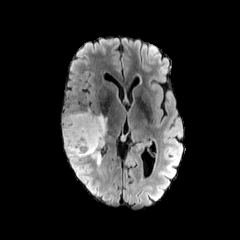
FLAIR MR.
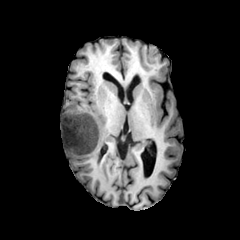
T1-weighted MRI.
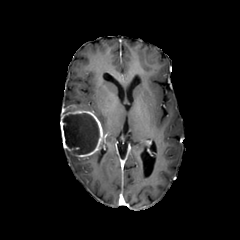
Post-contrast T1-weighted magnetic resonance.
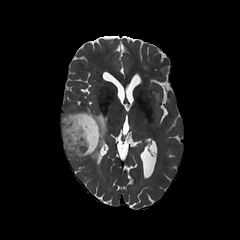
T2-weighted MR image.
Head; Axial view
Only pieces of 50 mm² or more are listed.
enhancing tumor: <bbox>60, 104, 106, 157</bbox>
necrotic tumor core: <bbox>63, 113, 99, 154</bbox>
peritumoral edema: <bbox>89, 150, 101, 166</bbox>, <bbox>65, 150, 84, 167</bbox>, <bbox>96, 112, 107, 134</bbox>